FLAIR MR image.
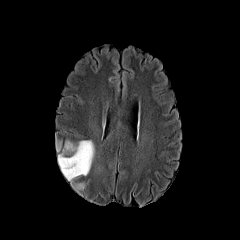
T1-weighted magnetic resonance.
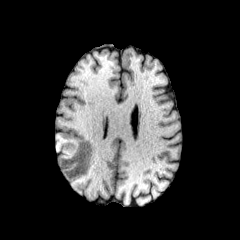
Post-contrast T1-weighted magnetic resonance.
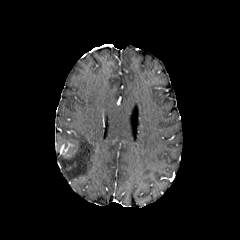
T2-weighted MR image.
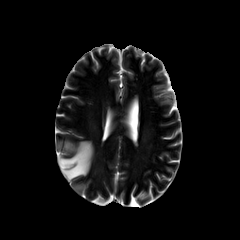
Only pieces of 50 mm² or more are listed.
peritumoral edema at box=[58, 140, 94, 182]; box=[74, 183, 83, 189]